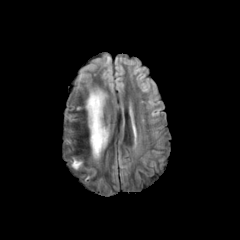
FLAIR MRI.
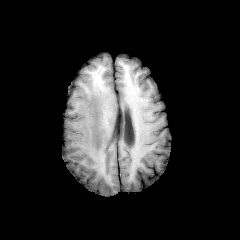
T1-weighted MR image.
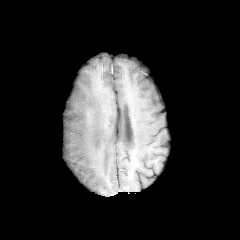
Post-contrast T1-weighted MR.
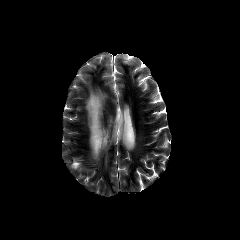
T2-weighted magnetic resonance of the same slice.
Brain
peritumoral edema: 72 160 81 168, 86 91 108 157